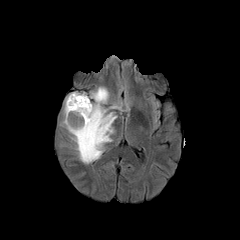
FLAIR MR image.
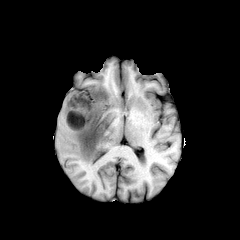
T1-weighted magnetic resonance.
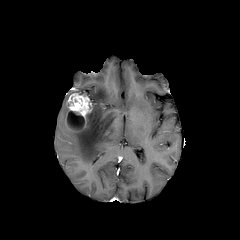
Same slice, post-contrast T1-weighted magnetic resonance.
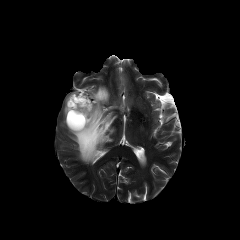
Same slice, T2-weighted MR.
Brain. 240x240.
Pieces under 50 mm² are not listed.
- necrotic tumor core: 67,111,84,129
- enhancing tumor: 64,93,92,131
- peritumoral edema: 62,86,121,163